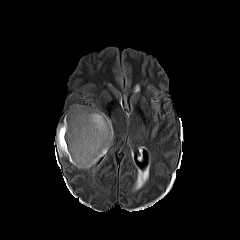
FLAIR MR image.
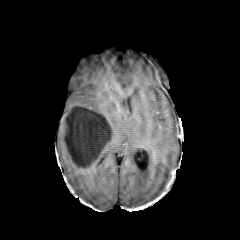
T1-weighted MR.
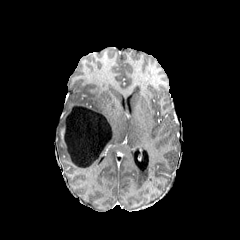
Post-contrast T1-weighted MRI of the same slice.
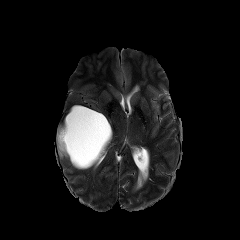
T2-weighted MR image of the same slice.
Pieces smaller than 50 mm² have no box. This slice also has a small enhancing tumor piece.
necrotic tumor core — 64:106:111:167
peritumoral edema — 56:104:113:169